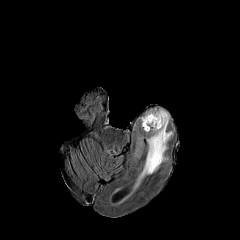
FLAIR MR.
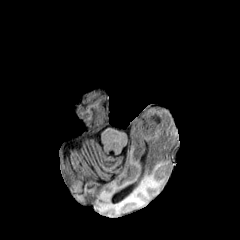
T1-weighted magnetic resonance.
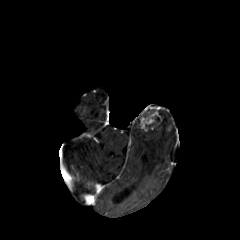
Post-contrast T1-weighted MR.
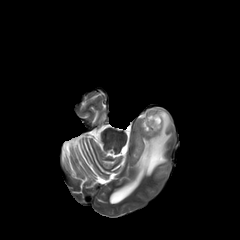
T2-weighted magnetic resonance.
Head, Axial slice
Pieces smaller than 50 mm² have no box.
<segmentation>
  <peritumoral_edema>140 110 172 179</peritumoral_edema>
  <necrotic_tumor_core>146 117 159 128</necrotic_tumor_core>
  <enhancing_tumor>140 111 161 131</enhancing_tumor>
</segmentation>